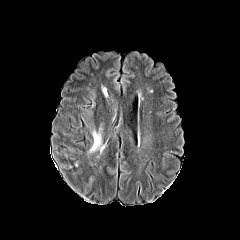
FLAIR MR image.
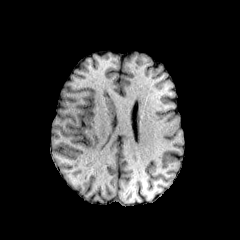
Same slice, T1-weighted magnetic resonance.
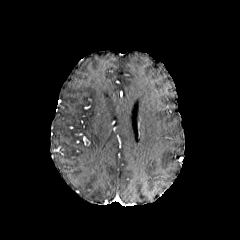
Post-contrast T1-weighted magnetic resonance.
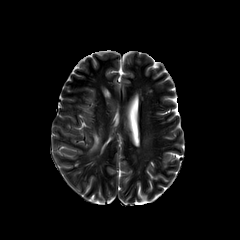
T2-weighted MR image.
Axial view, Head
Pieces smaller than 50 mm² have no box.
The largest peritumoral edema region lies within x1=89, y1=130, x2=104, y2=153.